240x240 px | Head | Slice index 55
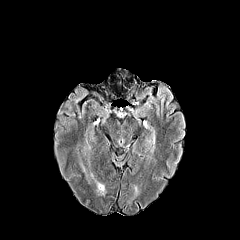
FLAIR magnetic resonance.
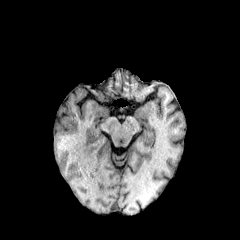
T1-weighted MR of the same slice.
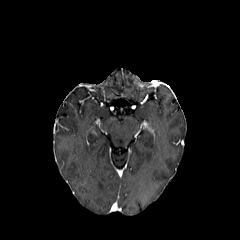
Post-contrast T1-weighted magnetic resonance.
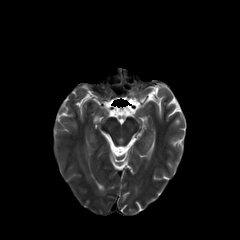
T2-weighted MR image.
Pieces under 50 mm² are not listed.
peritumoral edema: box=[95, 180, 104, 194]